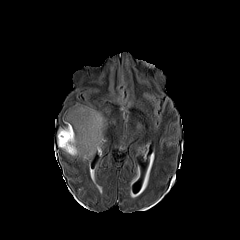
FLAIR MR.
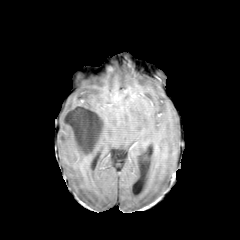
Same slice, T1-weighted MR image.
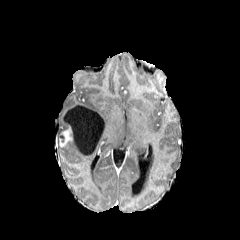
Same slice, post-contrast T1-weighted magnetic resonance.
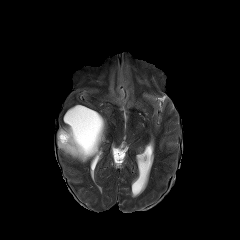
T2-weighted MR image of the same slice.
240x240, Brain
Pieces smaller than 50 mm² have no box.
{
  "peritumoral_edema": [
    "box=[57, 104, 106, 161]"
  ],
  "enhancing_tumor": [
    "box=[59, 126, 72, 146]"
  ],
  "necrotic_tumor_core": [
    "box=[64, 106, 103, 156]"
  ]
}